Slice index 82 | 240x240 | Brain
FLAIR MRI.
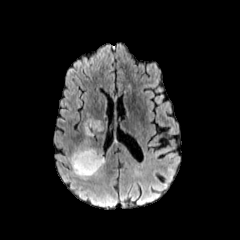
T1-weighted MR.
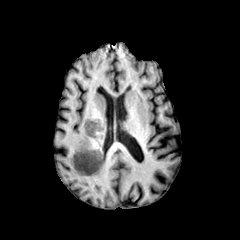
Post-contrast T1-weighted MR image.
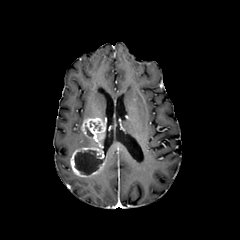
T2-weighted MRI.
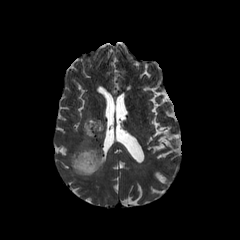
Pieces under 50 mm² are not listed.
The enhancing tumor is bounded by 70,117,105,177. The largest necrotic tumor core region is located at 74,150,104,175. The largest peritumoral edema region is bounded by 76,138,90,148.